Head, Slice index 60
FLAIR MR image.
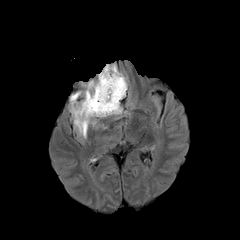
T1-weighted MR image.
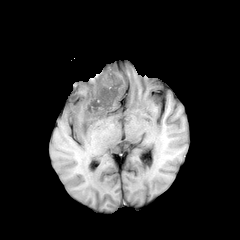
Post-contrast T1-weighted magnetic resonance.
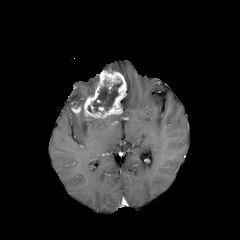
T2-weighted magnetic resonance.
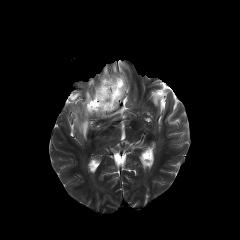
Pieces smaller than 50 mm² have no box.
{
  "enhancing_tumor": [
    "<bbox>71, 70, 126, 119</bbox>"
  ],
  "necrotic_tumor_core": [
    "<bbox>90, 77, 122, 111</bbox>"
  ],
  "peritumoral_edema": [
    "<bbox>70, 91, 81, 107</bbox>",
    "<bbox>104, 64, 117, 71</bbox>",
    "<bbox>76, 80, 96, 107</bbox>",
    "<bbox>70, 109, 95, 138</bbox>"
  ]
}